Head, Slice index 34
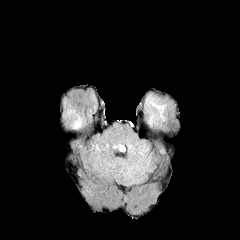
FLAIR MR.
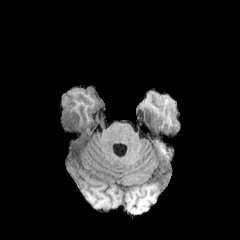
T1-weighted magnetic resonance of the same slice.
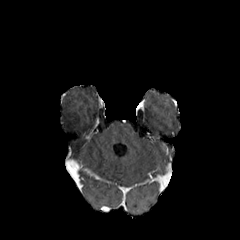
Post-contrast T1-weighted MR image.
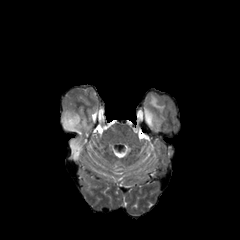
T2-weighted magnetic resonance of the same slice.
2 peritumoral edema regions appear at [145, 102, 165, 125], [62, 100, 80, 129].